Slice 45 of 155, 240x240 px
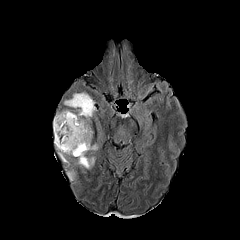
FLAIR MR.
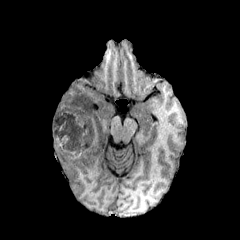
T1-weighted MR image of the same slice.
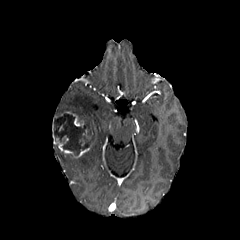
Same slice, post-contrast T1-weighted MR image.
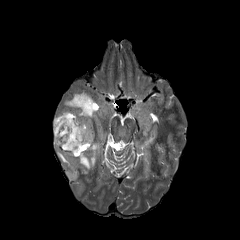
T2-weighted MRI.
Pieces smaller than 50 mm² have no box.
Findings:
* necrotic tumor core: box=[54, 113, 91, 155]
* enhancing tumor: box=[66, 112, 83, 126]; box=[58, 143, 73, 154]; box=[77, 146, 90, 157]
* peritumoral edema: box=[58, 152, 70, 166]; box=[53, 110, 71, 131]; box=[74, 154, 95, 168]; box=[67, 169, 76, 180]; box=[90, 143, 98, 150]; box=[64, 92, 94, 142]